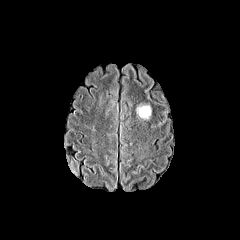
FLAIR MR.
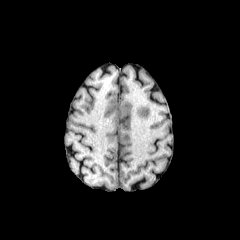
T1-weighted magnetic resonance.
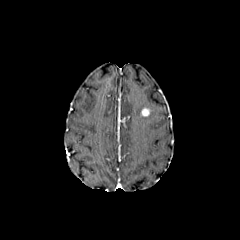
Post-contrast T1-weighted magnetic resonance.
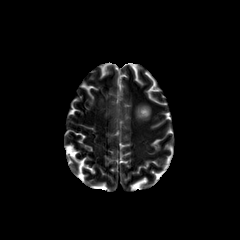
T2-weighted MRI of the same slice.
Axial view.
enhancing_tumor:
  - (left=141, top=108, right=149, bottom=116)
peritumoral_edema:
  - (left=136, top=105, right=151, bottom=119)